Head; Axial view
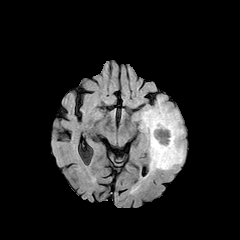
FLAIR MR image.
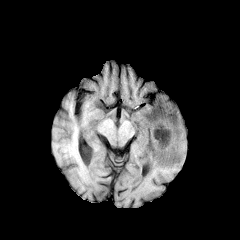
T1-weighted MRI.
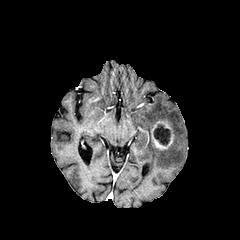
Same slice, post-contrast T1-weighted MR.
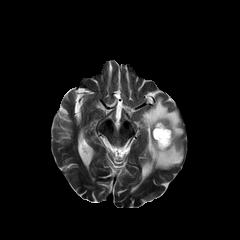
Same slice, T2-weighted MR image.
{
  "peritumoral_edema": [
    "x1=137 y1=97 x2=184 y2=174"
  ],
  "enhancing_tumor": [
    "x1=151 y1=120 x2=174 y2=150"
  ],
  "necrotic_tumor_core": [
    "x1=153 y1=124 x2=170 y2=145"
  ]
}